FLAIR MR.
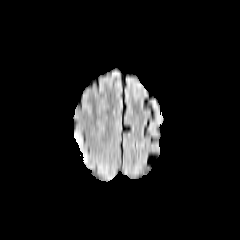
T1-weighted MR.
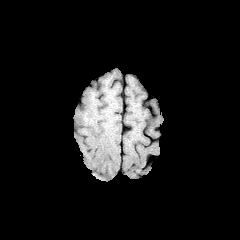
Post-contrast T1-weighted MR image.
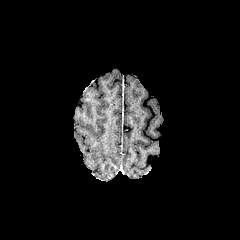
T2-weighted MRI.
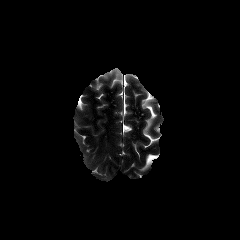
240x240 px | Head
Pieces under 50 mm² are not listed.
Annotated regions:
* peritumoral edema: {"x1": 74, "y1": 134, "x2": 81, "y2": 147}